Brain
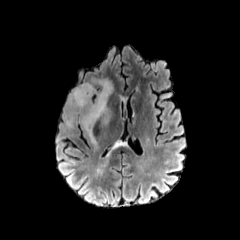
FLAIR magnetic resonance.
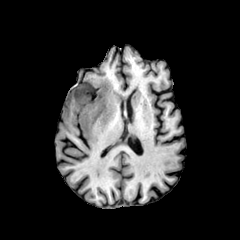
Same slice, T1-weighted MR image.
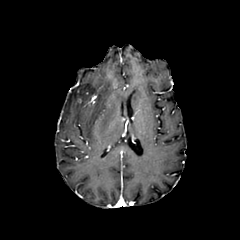
Post-contrast T1-weighted MR.
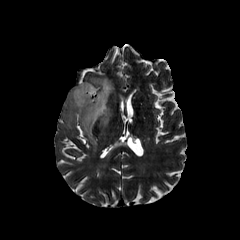
T2-weighted MRI of the same slice.
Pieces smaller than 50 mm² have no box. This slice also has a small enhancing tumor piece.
The peritumoral edema is located at [67,78,113,144].